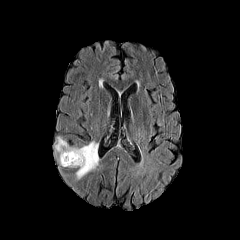
FLAIR MRI.
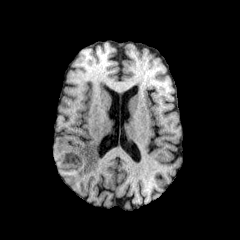
T1-weighted MR image of the same slice.
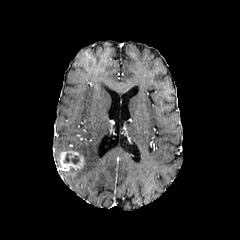
Post-contrast T1-weighted MRI.
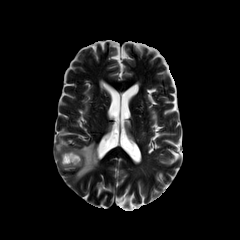
Same slice, T2-weighted MR.
240x240, Brain
The peritumoral edema is located at 55,137,96,179. The necrotic tumor core lies within 64,153,79,164. The enhancing tumor is at 59,150,83,168.